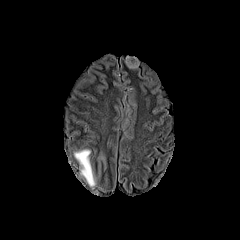
FLAIR MRI.
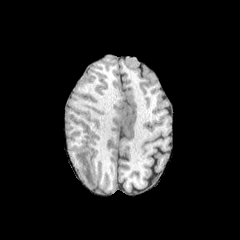
T1-weighted MR image.
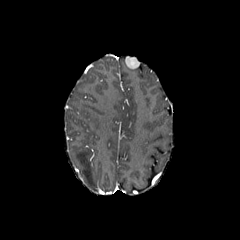
Post-contrast T1-weighted magnetic resonance.
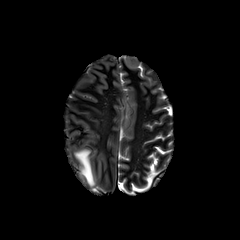
T2-weighted MR image.
Axial plane. Head. 240x240 px.
Findings:
* peritumoral edema: (left=74, top=149, right=94, bottom=186)